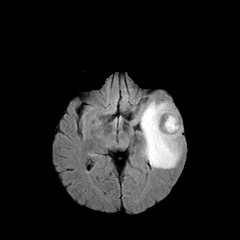
FLAIR MRI.
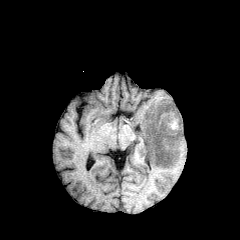
Same slice, T1-weighted MRI.
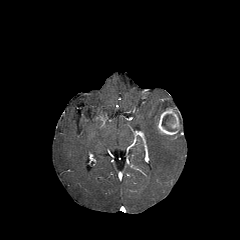
Post-contrast T1-weighted magnetic resonance.
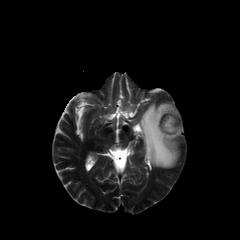
T2-weighted MR of the same slice.
240x240 px | Axial slice
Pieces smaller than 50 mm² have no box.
{
  "necrotic_tumor_core": [
    "<box>162,114,176,131</box>"
  ],
  "enhancing_tumor": [
    "<box>157,107,180,138</box>"
  ],
  "peritumoral_edema": [
    "<box>134,100,182,168</box>"
  ]
}